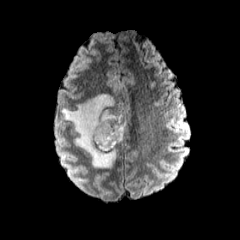
FLAIR MR image.
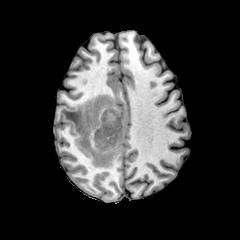
T1-weighted MR image of the same slice.
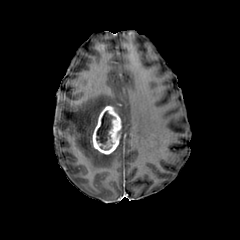
Same slice, post-contrast T1-weighted MR image.
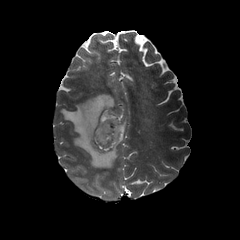
T2-weighted magnetic resonance.
Axial view
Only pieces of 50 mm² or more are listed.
enhancing_tumor:
  - x1=92 y1=105 x2=122 y2=154
necrotic_tumor_core:
  - x1=96 y1=110 x2=115 y2=144
peritumoral_edema:
  - x1=62 y1=94 x2=126 y2=167